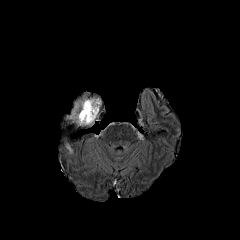
FLAIR MR.
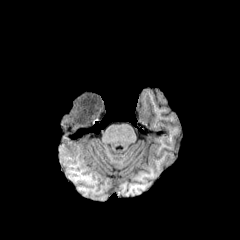
T1-weighted magnetic resonance.
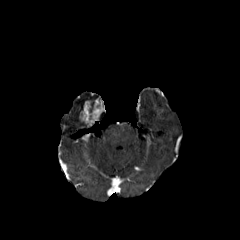
Post-contrast T1-weighted MR image.
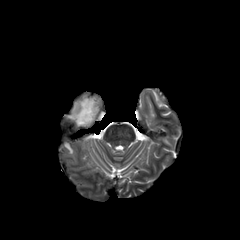
Same slice, T2-weighted MRI.
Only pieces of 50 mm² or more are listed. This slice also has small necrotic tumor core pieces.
<segmentation>
  <peritumoral_edema>box(67, 97, 96, 125)</peritumoral_edema>
  <enhancing_tumor>box(79, 98, 104, 126)</enhancing_tumor>
</segmentation>